240x240 | Slice index 72
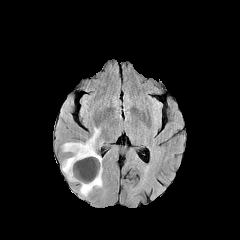
FLAIR MRI.
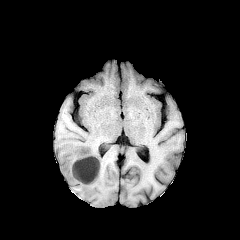
T1-weighted magnetic resonance.
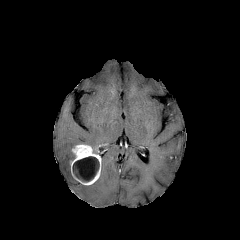
Post-contrast T1-weighted magnetic resonance.
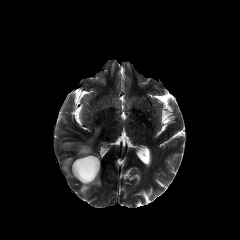
T2-weighted MR image.
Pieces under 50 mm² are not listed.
necrotic tumor core at rect(73, 156, 99, 181)
enhancing tumor at rect(70, 144, 101, 185)
peritumoral edema at rect(79, 175, 102, 196); rect(63, 128, 99, 153); rect(62, 154, 76, 180)